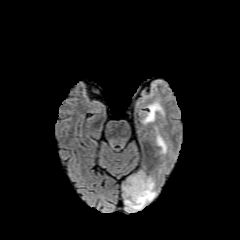
FLAIR magnetic resonance.
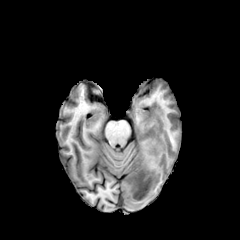
T1-weighted MR of the same slice.
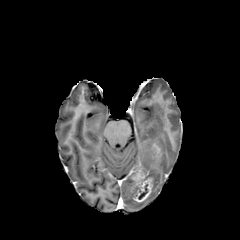
Post-contrast T1-weighted magnetic resonance.
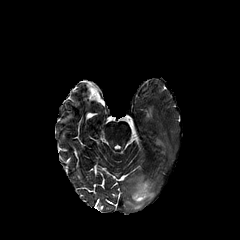
Same slice, T2-weighted MRI.
Brain.
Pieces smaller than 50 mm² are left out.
3 peritumoral edema regions appear at left=123, top=177, right=156, bottom=211; left=156, top=135, right=166, bottom=153; left=144, top=103, right=163, bottom=123. The enhancing tumor appears at left=131, top=170, right=152, bottom=201. The largest necrotic tumor core region lies within left=138, top=184, right=147, bottom=199.